FLAIR MRI.
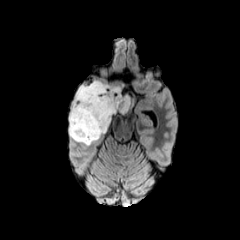
T1-weighted MRI.
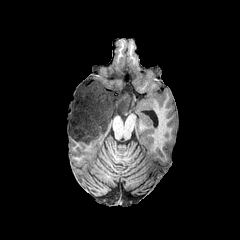
Post-contrast T1-weighted MR image.
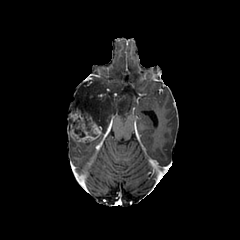
T2-weighted MR.
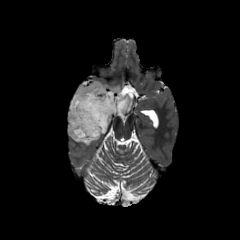
Head. 240x240 px.
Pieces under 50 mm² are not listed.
* enhancing tumor: [69,110,101,142]
* necrotic tumor core: [84,120,96,136], [72,120,85,137]
* peritumoral edema: [69,80,130,133]